Brain; Slice index 39; Axial slice
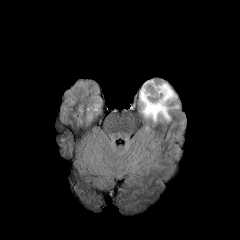
FLAIR MR.
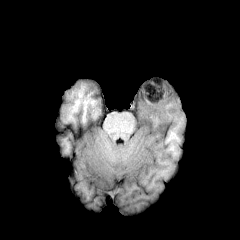
T1-weighted MR of the same slice.
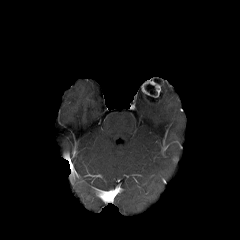
Post-contrast T1-weighted magnetic resonance.
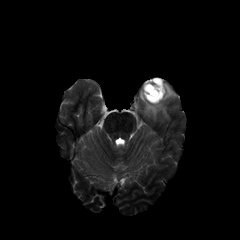
T2-weighted MR.
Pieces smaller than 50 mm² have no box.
peritumoral_edema:
  - bbox(139, 83, 179, 122)
enhancing_tumor:
  - bbox(141, 79, 165, 103)
necrotic_tumor_core:
  - bbox(145, 84, 156, 95)
  - bbox(146, 92, 162, 102)